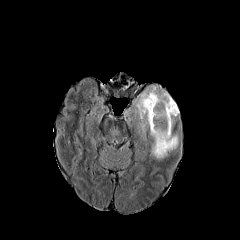
FLAIR MRI.
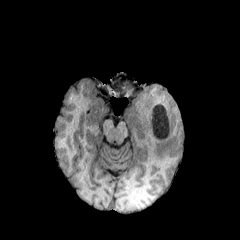
Same slice, T1-weighted MR.
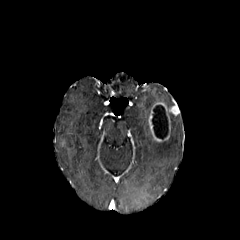
Same slice, post-contrast T1-weighted MR image.
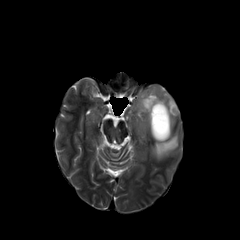
Same slice, T2-weighted magnetic resonance.
Axial slice.
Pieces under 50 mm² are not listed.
necrotic tumor core: [152, 105, 168, 139]
peritumoral edema: [136, 86, 172, 131], [151, 129, 178, 159]
enhancing tumor: [148, 100, 179, 142]